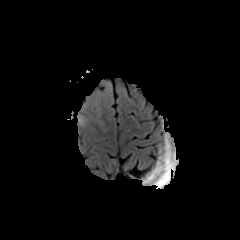
FLAIR magnetic resonance.
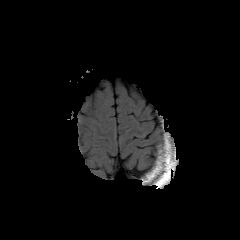
T1-weighted MRI of the same slice.
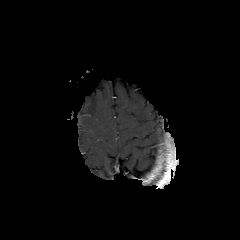
Post-contrast T1-weighted MRI.
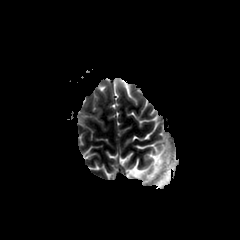
T2-weighted MRI.
Axial view.
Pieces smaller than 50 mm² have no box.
- peritumoral edema: (77, 113, 87, 126)